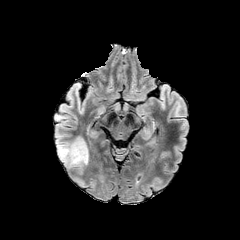
FLAIR MR.
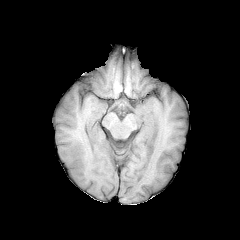
T1-weighted MR.
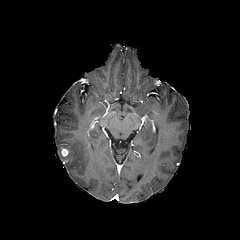
Post-contrast T1-weighted MR image of the same slice.
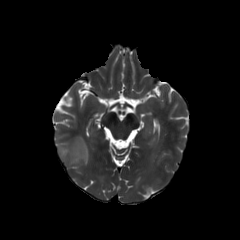
T2-weighted MRI of the same slice.
Head.
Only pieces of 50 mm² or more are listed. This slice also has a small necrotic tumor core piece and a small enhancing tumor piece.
peritumoral edema: <box>57,137,88,167</box>